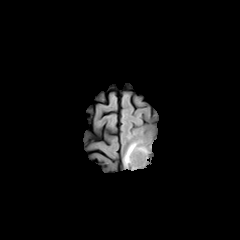
FLAIR MR.
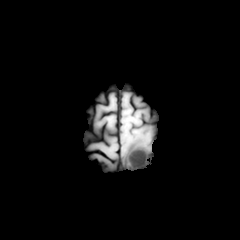
Same slice, T1-weighted MR.
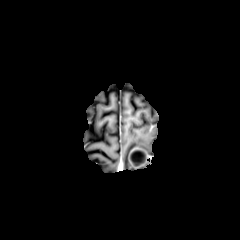
Post-contrast T1-weighted MRI of the same slice.
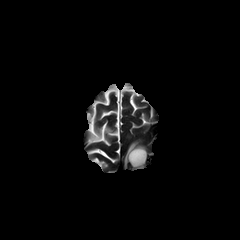
T2-weighted MRI of the same slice.
Image size 240x240 | Axial view
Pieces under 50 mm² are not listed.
<segmentation>
  <necrotic_tumor_core><bbox>132, 150, 144, 165</bbox></necrotic_tumor_core>
  <peritumoral_edema><bbox>123, 139, 146, 167</bbox></peritumoral_edema>
  <enhancing_tumor><bbox>128, 147, 147, 169</bbox></enhancing_tumor>
</segmentation>